Head | Axial slice
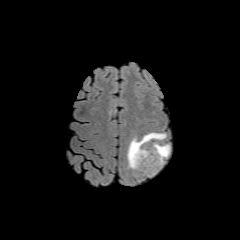
FLAIR MR image.
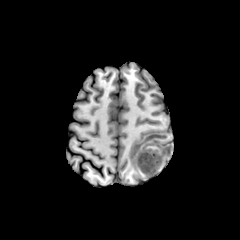
T1-weighted magnetic resonance of the same slice.
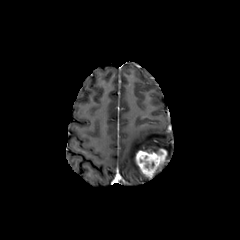
Post-contrast T1-weighted MRI.
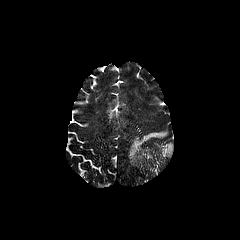
T2-weighted MRI.
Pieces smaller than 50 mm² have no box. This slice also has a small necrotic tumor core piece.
enhancing tumor at <box>134,146,167,177</box>
peritumoral edema at <box>127,132,166,169</box>, <box>154,143,170,156</box>